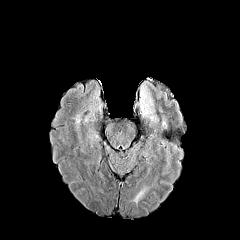
FLAIR MR image.
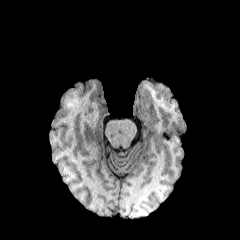
Same slice, T1-weighted MRI.
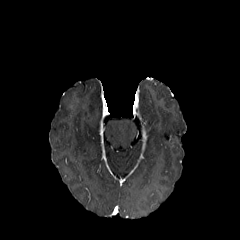
Post-contrast T1-weighted magnetic resonance of the same slice.
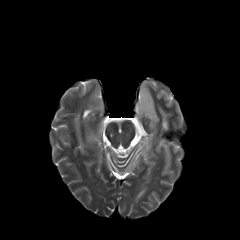
T2-weighted MR.
Brain, Axial slice
peritumoral edema: 139, 83, 155, 119